Axial slice
FLAIR MRI.
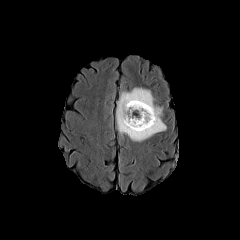
T1-weighted MRI.
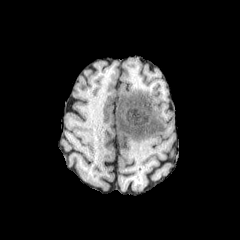
Post-contrast T1-weighted MR.
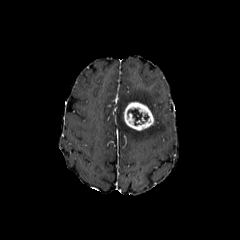
T2-weighted magnetic resonance.
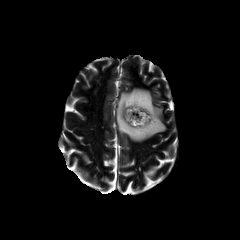
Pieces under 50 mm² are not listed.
* necrotic tumor core: 128,109,143,125
* peritumoral edema: 116,88,166,141
* enhancing tumor: 123,102,154,130